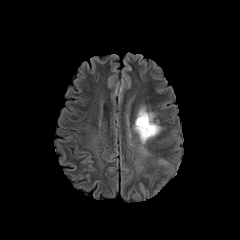
FLAIR MR.
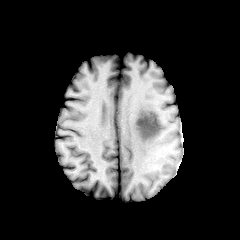
T1-weighted MR image.
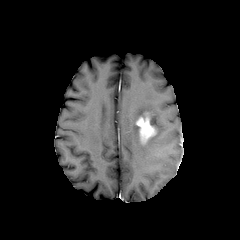
Post-contrast T1-weighted MRI.
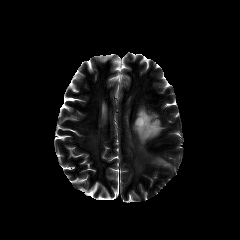
T2-weighted MRI.
Axial view
Annotated regions:
* peritumoral edema: region(148, 113, 160, 133); region(134, 108, 147, 134)
* enhancing tumor: region(136, 113, 156, 142)